FLAIR magnetic resonance.
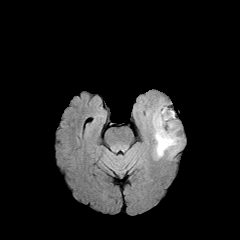
T1-weighted magnetic resonance.
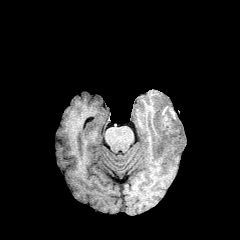
Post-contrast T1-weighted magnetic resonance.
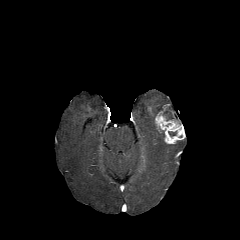
T2-weighted MRI.
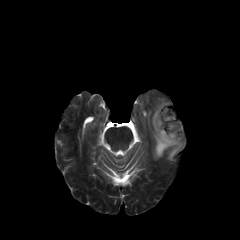
Image size 240x240.
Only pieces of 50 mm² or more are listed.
<segmentation>
  <enhancing_tumor>[154,104,185,144]</enhancing_tumor>
  <necrotic_tumor_core>[164,107,173,120]</necrotic_tumor_core>
  <peritumoral_edema>[146,99,182,159]</peritumoral_edema>
</segmentation>